Head.
FLAIR MR.
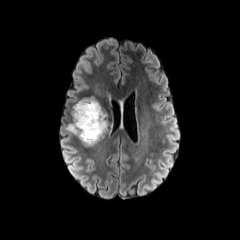
T1-weighted magnetic resonance.
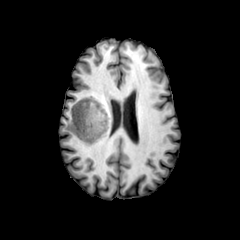
Post-contrast T1-weighted magnetic resonance.
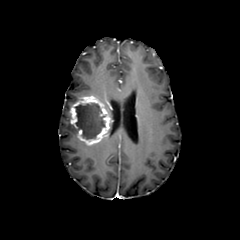
T2-weighted MR.
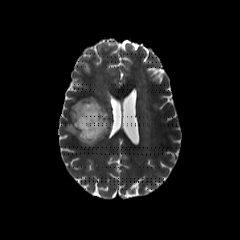
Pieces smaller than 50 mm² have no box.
Annotated regions:
* peritumoral edema: (x1=65, y1=123, x2=76, y2=136), (x1=93, y1=84, x2=101, y2=95)
* enhancing tumor: (x1=70, y1=95, x2=109, y2=145)
* necrotic tumor core: (x1=75, y1=103, x2=105, y2=140)